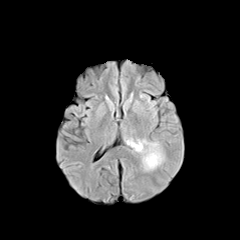
FLAIR magnetic resonance.
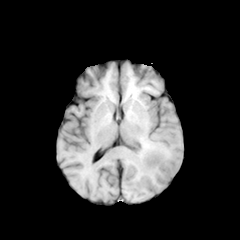
T1-weighted MR image.
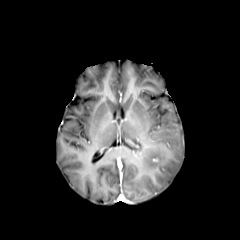
Post-contrast T1-weighted magnetic resonance of the same slice.
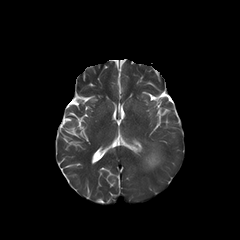
Same slice, T2-weighted MR image.
Head.
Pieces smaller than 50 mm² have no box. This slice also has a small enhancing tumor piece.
2 peritumoral edema regions are bounded by bbox(142, 143, 163, 169); bbox(126, 139, 146, 152).